240x240 px; Brain; Axial view
FLAIR MR image.
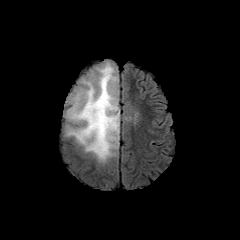
T1-weighted magnetic resonance.
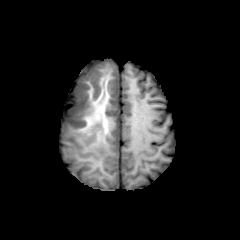
Post-contrast T1-weighted MR image.
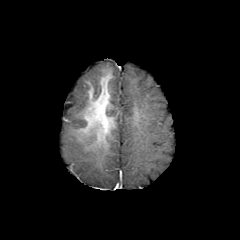
T2-weighted MR image.
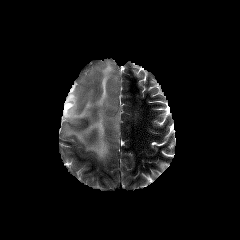
peritumoral_edema:
  - rect(63, 60, 120, 163)